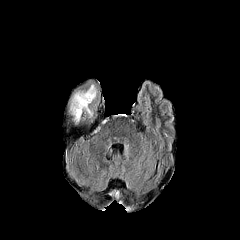
FLAIR MRI.
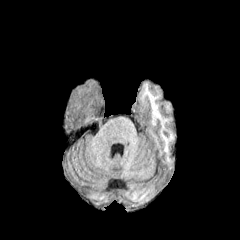
T1-weighted MR image.
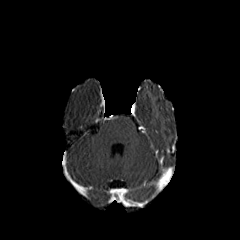
Post-contrast T1-weighted magnetic resonance.
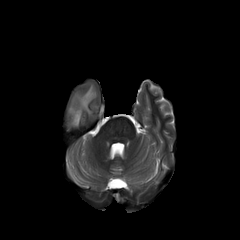
T2-weighted magnetic resonance of the same slice.
Head; 240x240
{"peritumoral_edema": ["box=[69, 84, 96, 124]"]}